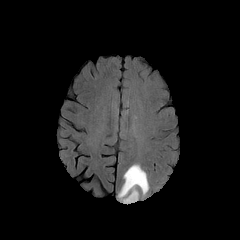
FLAIR MRI.
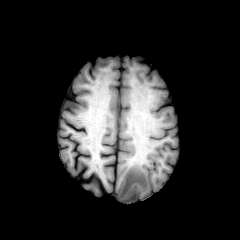
T1-weighted magnetic resonance.
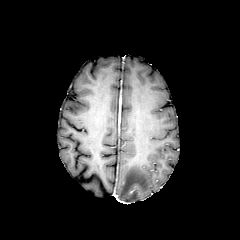
Same slice, post-contrast T1-weighted MR.
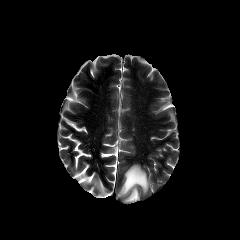
T2-weighted MR.
Head, 240x240
Annotated regions:
- peritumoral edema: l=118, t=164, r=148, b=202